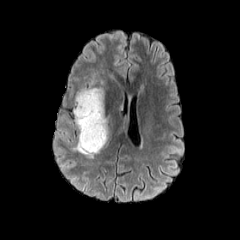
FLAIR magnetic resonance.
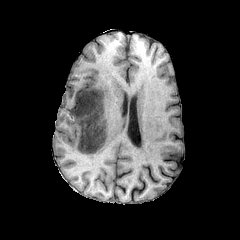
T1-weighted MRI.
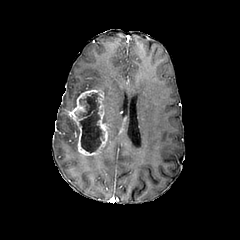
Post-contrast T1-weighted MR image of the same slice.
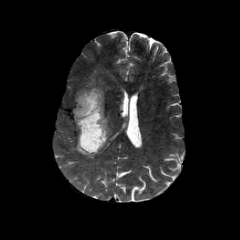
Same slice, T2-weighted magnetic resonance.
240x240; Head; Axial slice
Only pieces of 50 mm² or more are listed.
Findings:
• necrotic tumor core: 78,92,102,153
• peritumoral edema: 75,80,104,106; 104,114,115,140
• enhancing tumor: 71,88,107,155